Brain; Axial slice; Slice index 48
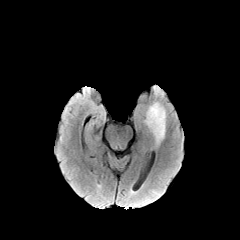
FLAIR MR.
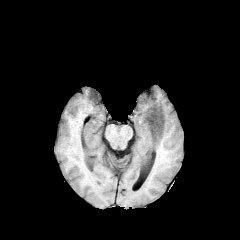
T1-weighted MRI.
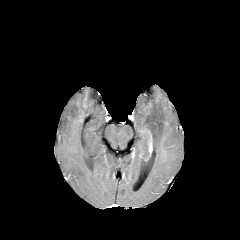
Same slice, post-contrast T1-weighted magnetic resonance.
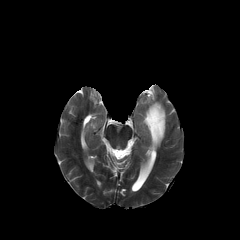
Same slice, T2-weighted magnetic resonance.
peritumoral edema: bounding box 144,102,165,144